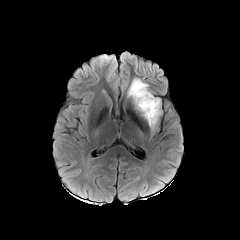
FLAIR MR image.
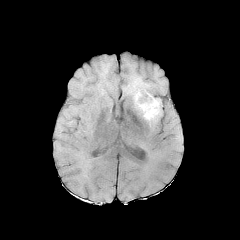
T1-weighted MRI of the same slice.
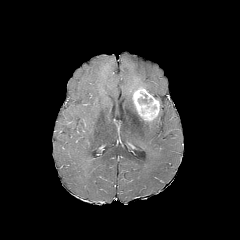
Post-contrast T1-weighted MR of the same slice.
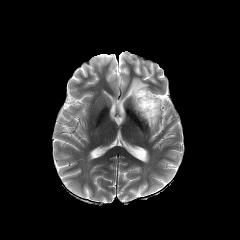
T2-weighted MR.
Axial view.
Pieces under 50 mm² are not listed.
{
  "necrotic_tumor_core": [
    "[138,94,152,104]"
  ],
  "enhancing_tumor": [
    "[133,87,159,121]"
  ],
  "peritumoral_edema": [
    "[148,97,161,129]",
    "[127,78,152,98]"
  ]
}